Image covers 240 mm x 240 mm, Image size 240x240, Brain, Axial view
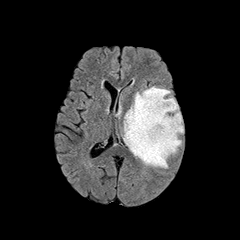
FLAIR magnetic resonance.
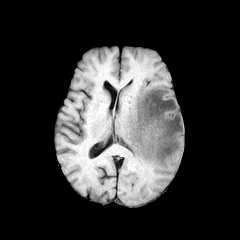
T1-weighted MR image.
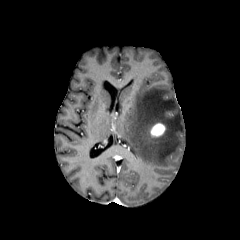
Post-contrast T1-weighted MRI.
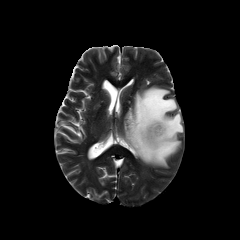
Same slice, T2-weighted magnetic resonance.
peritumoral edema: region(123, 86, 183, 167)
enhancing tumor: region(150, 123, 165, 137)